Axial view
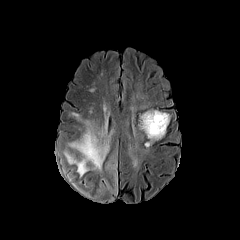
FLAIR MR.
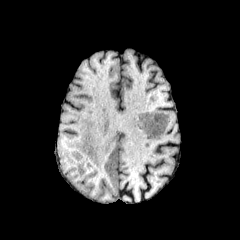
T1-weighted MRI.
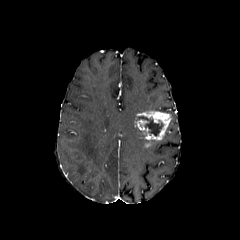
Post-contrast T1-weighted MRI.
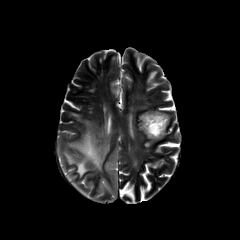
Same slice, T2-weighted magnetic resonance.
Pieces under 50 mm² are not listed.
{"necrotic_tumor_core": ["l=140, t=116, r=162, b=135"], "enhancing_tumor": ["l=137, t=110, r=171, b=147"], "peritumoral_edema": ["l=106, t=150, r=118, b=194", "l=64, t=120, r=111, b=176", "l=75, t=181, r=104, b=199", "l=68, t=170, r=75, b=179"]}